FLAIR MR.
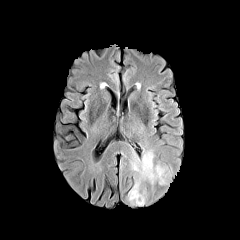
T1-weighted MRI.
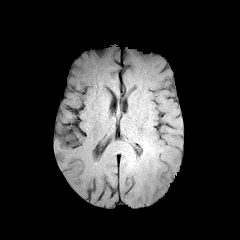
Post-contrast T1-weighted MR image.
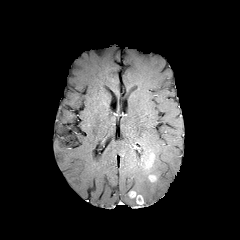
T2-weighted MRI.
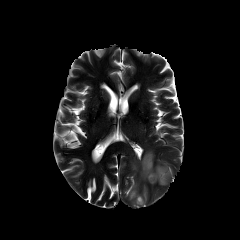
Axial view.
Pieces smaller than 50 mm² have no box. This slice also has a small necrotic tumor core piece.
The largest enhancing tumor region is at (x1=146, y1=155, x2=153, y2=168). The 3 largest peritumoral edema regions are bounded by (x1=131, y1=183, x2=145, y2=203), (x1=128, y1=193, x2=142, y2=205), (x1=140, y1=152, x2=171, y2=184).